FLAIR MRI.
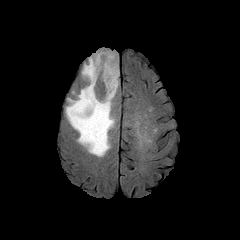
T1-weighted MR.
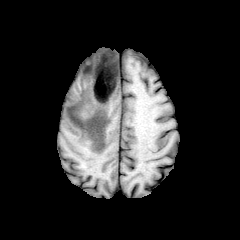
Post-contrast T1-weighted magnetic resonance.
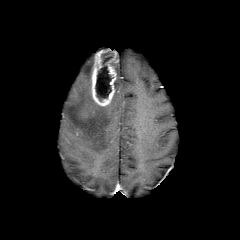
T2-weighted MRI.
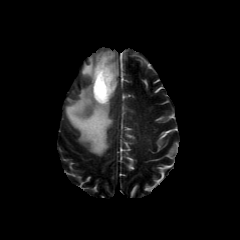
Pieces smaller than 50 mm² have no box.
Segmented structures:
• necrotic tumor core: (left=95, top=52, right=112, bottom=100)
• enhancing tumor: (left=91, top=49, right=118, bottom=106)
• peritumoral edema: (left=65, top=53, right=119, bottom=156)